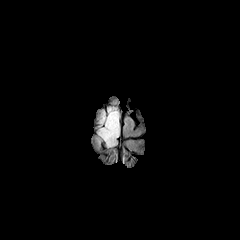
FLAIR magnetic resonance.
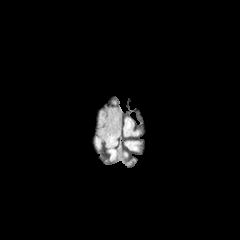
T1-weighted MRI.
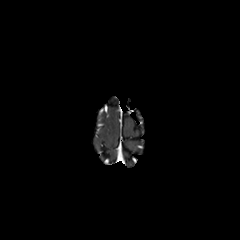
Post-contrast T1-weighted MRI.
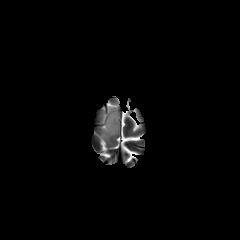
Same slice, T2-weighted MRI.
Brain, Image size 240x240
peritumoral edema: rect(98, 108, 119, 146)